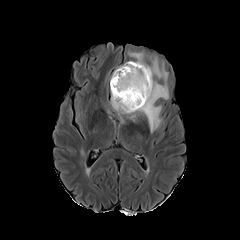
FLAIR MR image.
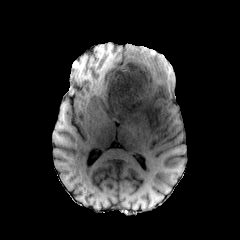
T1-weighted magnetic resonance.
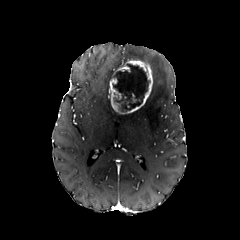
Post-contrast T1-weighted magnetic resonance.
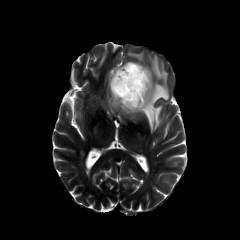
Same slice, T2-weighted MR.
Axial slice
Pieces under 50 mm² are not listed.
enhancing tumor: (x1=110, y1=60, x2=152, y2=114) | peritumoral edema: (x1=117, y1=57, x2=168, y2=132), (x1=129, y1=53, x2=143, y2=60) | necrotic tumor core: (x1=112, y1=64, x2=149, y2=111)